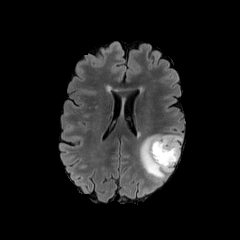
FLAIR MR.
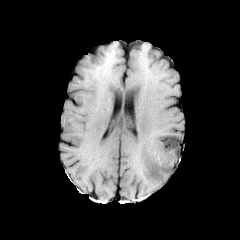
T1-weighted magnetic resonance.
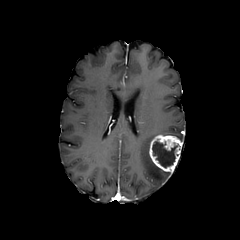
Same slice, post-contrast T1-weighted MR.
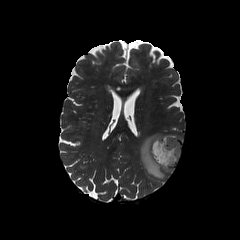
T2-weighted MR image.
Axial view
peritumoral edema = 166:134:182:147, 139:133:170:182
necrotic tumor core = 152:141:179:167
enhancing tumor = 149:135:180:172